FLAIR MR.
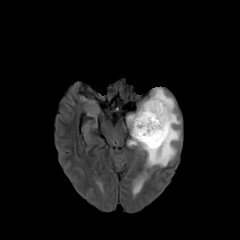
T1-weighted MR.
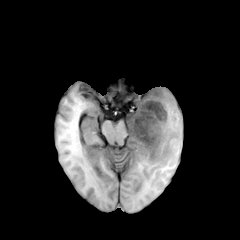
Post-contrast T1-weighted MRI.
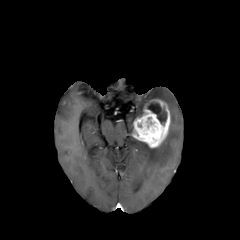
T2-weighted MRI.
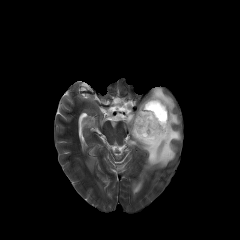
Brain; Axial slice
The enhancing tumor appears at rect(131, 99, 170, 148). 2 peritumoral edema regions are located at rect(133, 173, 146, 193); rect(126, 87, 180, 168). The necrotic tumor core appears at rect(147, 102, 166, 123).